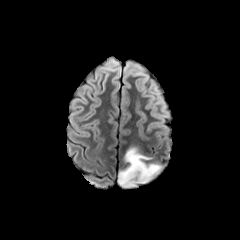
FLAIR MRI.
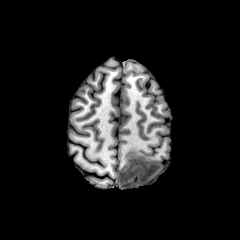
T1-weighted MR image.
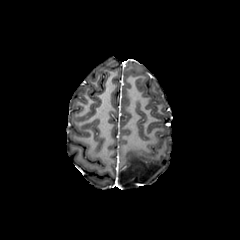
Post-contrast T1-weighted MR image of the same slice.
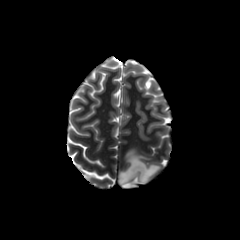
T2-weighted magnetic resonance.
Brain, Axial plane
peritumoral edema: bounding box (left=119, top=148, right=162, bottom=187)